Slice 38 of 155, Brain
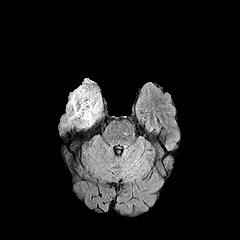
FLAIR MR image.
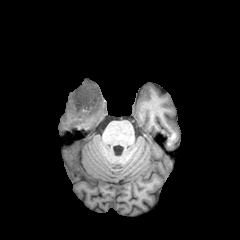
T1-weighted magnetic resonance of the same slice.
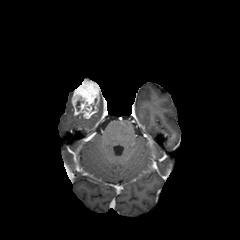
Post-contrast T1-weighted MRI of the same slice.
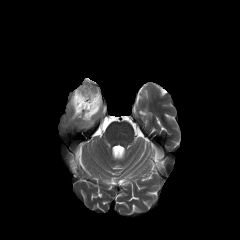
T2-weighted MR.
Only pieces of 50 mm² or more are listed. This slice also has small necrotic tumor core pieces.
enhancing_tumor:
  - rect(71, 79, 100, 119)
peritumoral_edema:
  - rect(68, 94, 101, 126)